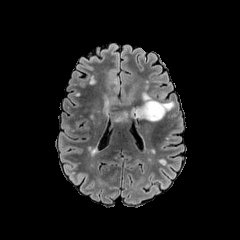
FLAIR MR.
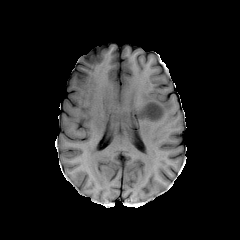
T1-weighted MRI.
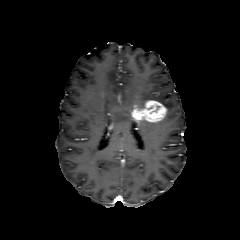
Post-contrast T1-weighted magnetic resonance of the same slice.
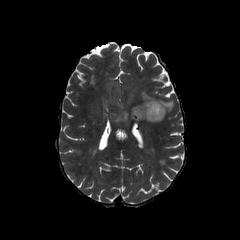
T2-weighted MR image of the same slice.
Image size 240x240 | Head | Axial plane
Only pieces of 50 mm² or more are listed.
enhancing tumor at (left=131, top=100, right=167, bottom=122)
peritumoral edema at (left=116, top=112, right=131, bottom=120), (left=137, top=92, right=174, bottom=112)